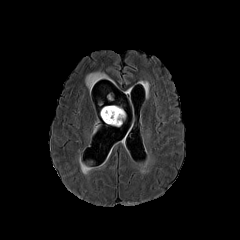
FLAIR MRI.
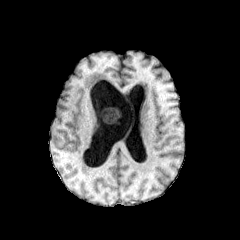
Same slice, T1-weighted MRI.
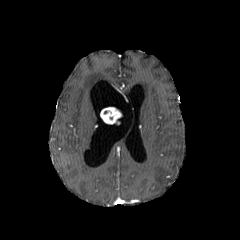
Post-contrast T1-weighted MRI of the same slice.
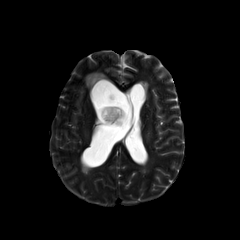
T2-weighted magnetic resonance.
Axial view | Head
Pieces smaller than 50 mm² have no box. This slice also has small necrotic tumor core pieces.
Findings:
* peritumoral edema: l=85, t=72, r=112, b=92
* enhancing tumor: l=100, t=106, r=122, b=124